Axial view.
FLAIR MR image.
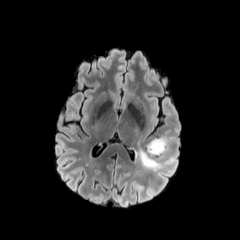
T1-weighted MRI.
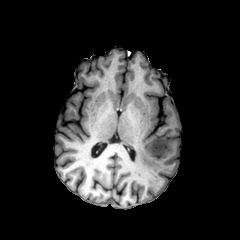
Post-contrast T1-weighted MR.
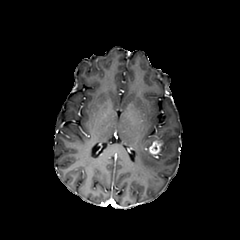
T2-weighted MR image.
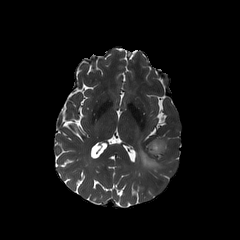
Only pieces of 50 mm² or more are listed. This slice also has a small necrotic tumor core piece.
enhancing_tumor:
  - <bbox>148, 140, 162, 154</bbox>
peritumoral_edema:
  - <bbox>138, 138, 166, 171</bbox>